Slice 107 of 155
FLAIR MR image.
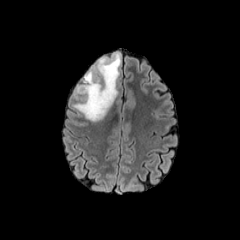
T1-weighted MR.
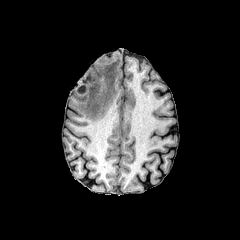
Post-contrast T1-weighted MR.
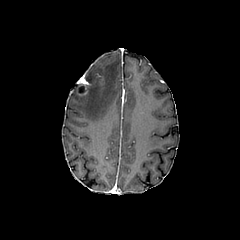
T2-weighted MR image.
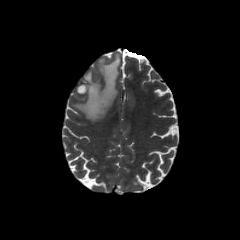
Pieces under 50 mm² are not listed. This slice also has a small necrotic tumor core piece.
enhancing tumor: x1=75, y1=74, x2=90, y2=95
peritumoral edema: x1=74, y1=53, x2=120, y2=121